Image width 240 mm. Axial view. Head.
FLAIR MR image.
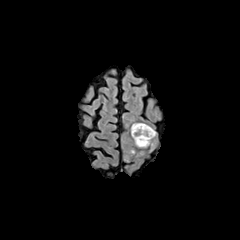
T1-weighted MR.
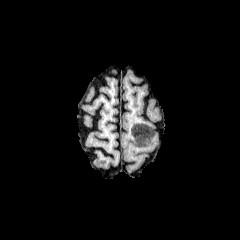
Post-contrast T1-weighted MR image.
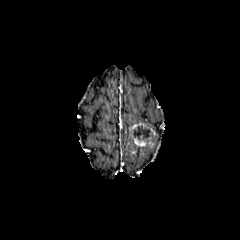
T2-weighted MRI.
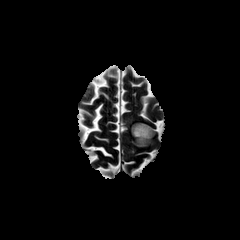
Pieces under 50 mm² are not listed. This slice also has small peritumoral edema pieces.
The necrotic tumor core is located at <bbox>133, 126, 152, 139</bbox>. The largest enhancing tumor region appears at <bbox>130, 123, 155, 146</bbox>.